Axial view, 240x240
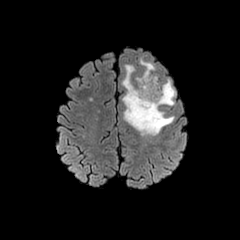
FLAIR MR image.
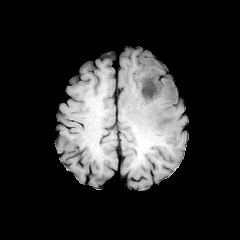
Same slice, T1-weighted MRI.
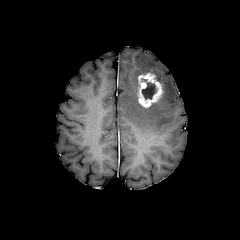
Post-contrast T1-weighted MR.
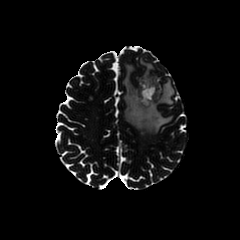
T2-weighted magnetic resonance of the same slice.
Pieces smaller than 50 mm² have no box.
Segmented structures:
• peritumoral edema: (left=139, top=58, right=155, bottom=73), (left=122, top=64, right=175, bottom=135)
• necrotic tumor core: (left=142, top=82, right=155, bottom=99)
• enhancing tumor: (left=138, top=72, right=164, bottom=108)